FLAIR magnetic resonance.
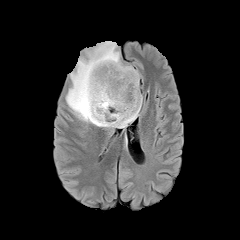
T1-weighted MRI.
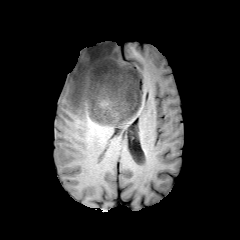
Post-contrast T1-weighted MRI.
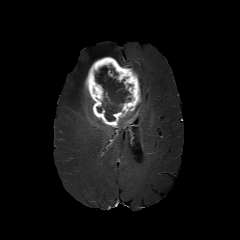
T2-weighted MRI.
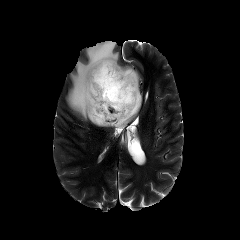
Axial slice | 240x240 px
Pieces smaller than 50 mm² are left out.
{
  "enhancing_tumor": [
    "<box>84,57,141,127</box>"
  ],
  "necrotic_tumor_core": [
    "<box>95,66,130,121</box>"
  ],
  "peritumoral_edema": [
    "<box>65,41,139,128</box>"
  ]
}